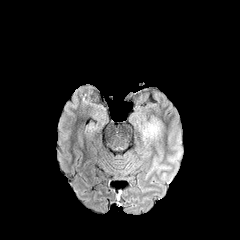
FLAIR MR.
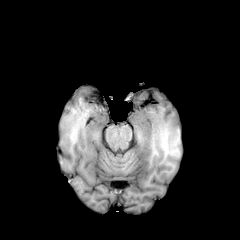
T1-weighted MR image.
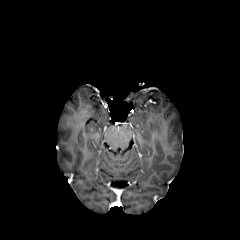
Post-contrast T1-weighted MR.
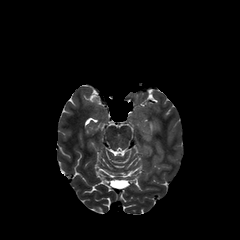
T2-weighted MR image of the same slice.
Axial plane; Brain
<segmentation>
  <peritumoral_edema>x1=144, y1=121, x2=159, y2=135</peritumoral_edema>
</segmentation>